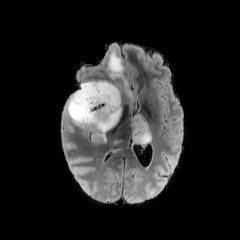
FLAIR magnetic resonance.
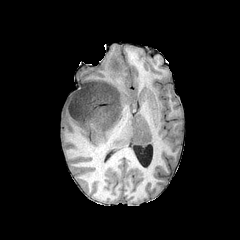
T1-weighted MR image.
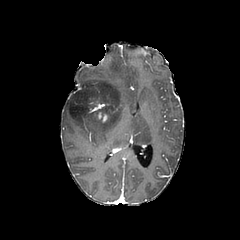
Post-contrast T1-weighted magnetic resonance.
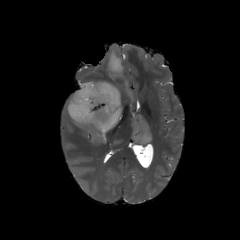
Same slice, T2-weighted MR image.
Brain, Axial plane
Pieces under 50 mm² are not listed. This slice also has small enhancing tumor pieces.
peritumoral_edema:
  - (x1=67, y1=80, x2=123, y2=146)
  - (x1=106, y1=48, x2=137, y2=102)
  - (x1=130, y1=114, x2=154, y2=146)